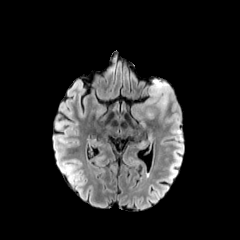
FLAIR magnetic resonance.
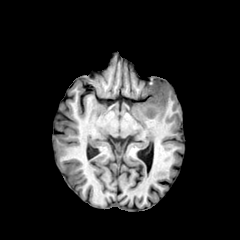
T1-weighted MR.
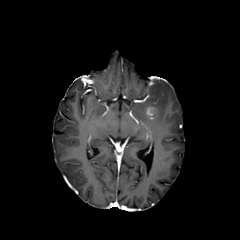
Same slice, post-contrast T1-weighted MRI.
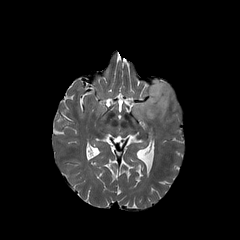
T2-weighted MR image of the same slice.
Axial plane.
The enhancing tumor is located at rect(146, 106, 157, 119). The peritumoral edema lies within rect(132, 80, 171, 119).